FLAIR MRI.
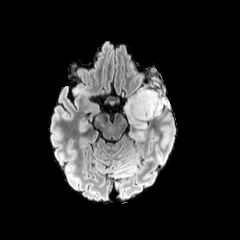
T1-weighted magnetic resonance.
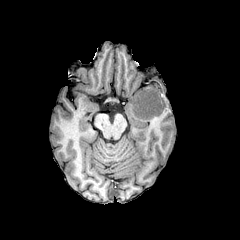
Post-contrast T1-weighted magnetic resonance.
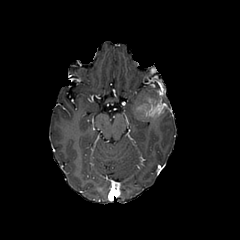
T2-weighted MR image.
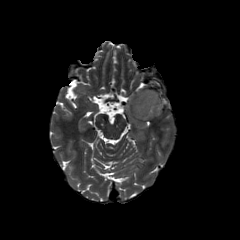
Axial slice, Brain
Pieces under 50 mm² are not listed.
enhancing tumor: 135 91 167 118 | peritumoral edema: 123 86 156 128, 131 131 143 137 | necrotic tumor core: 140 100 150 110